FLAIR MRI.
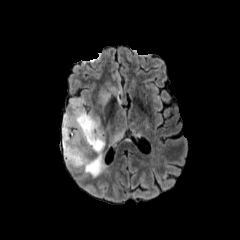
T1-weighted MR image.
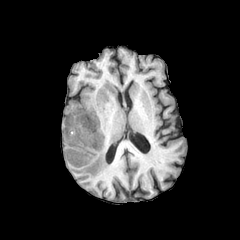
Post-contrast T1-weighted magnetic resonance.
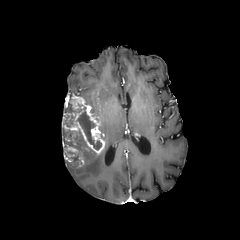
T2-weighted MR image.
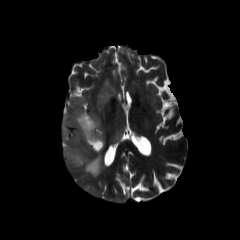
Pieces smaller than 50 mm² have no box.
necrotic tumor core: bounding box bbox=[77, 111, 101, 149]; bbox=[64, 131, 85, 149]
peritumoral edema: bounding box bbox=[97, 80, 119, 106]; bbox=[100, 121, 125, 149]; bbox=[83, 148, 107, 176]
enhancing tumor: bounding box bbox=[61, 97, 105, 167]